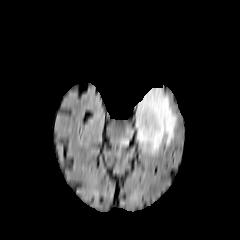
FLAIR MRI.
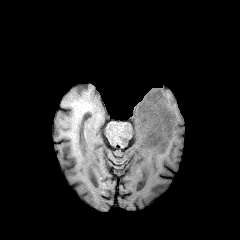
T1-weighted MR of the same slice.
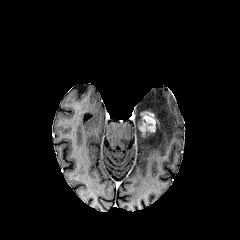
Same slice, post-contrast T1-weighted MR image.
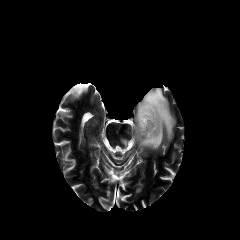
T2-weighted MR image of the same slice.
240x240 px. Brain. Axial view.
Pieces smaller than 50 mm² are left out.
The enhancing tumor is bounded by region(138, 111, 158, 136). The largest peritumoral edema region is at region(135, 88, 176, 154).